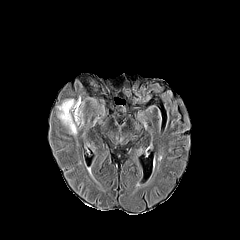
FLAIR MR image.
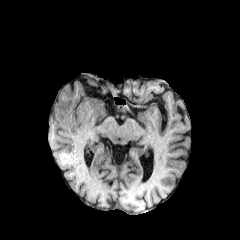
Same slice, T1-weighted MRI.
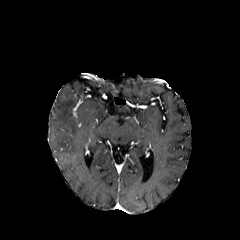
Post-contrast T1-weighted MR image.
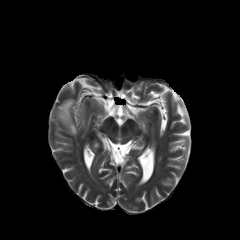
Same slice, T2-weighted MRI.
Axial plane, Brain
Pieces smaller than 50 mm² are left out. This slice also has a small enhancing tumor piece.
The largest peritumoral edema region appears at x1=57 y1=99 x2=84 y2=135.